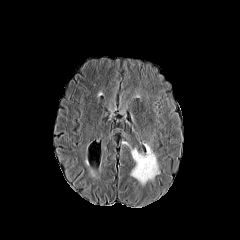
FLAIR MRI.
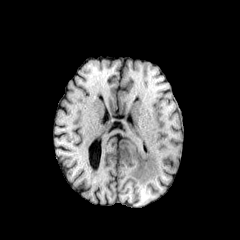
T1-weighted MR image.
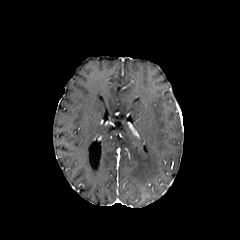
Post-contrast T1-weighted MR.
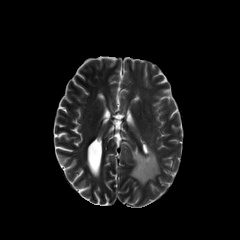
T2-weighted MR image.
The peritumoral edema lies within 122 142 159 185.